FLAIR MR image.
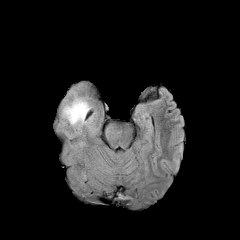
T1-weighted MR.
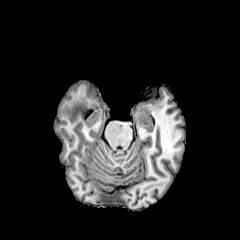
Post-contrast T1-weighted MRI.
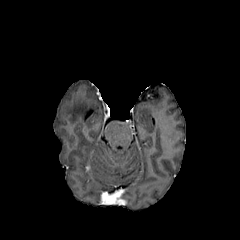
T2-weighted MRI.
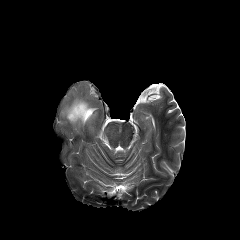
peritumoral edema = 61:91:96:128